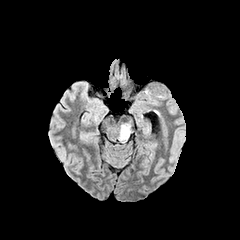
FLAIR magnetic resonance.
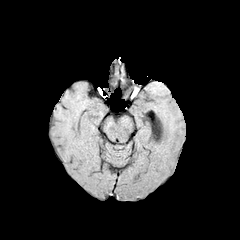
T1-weighted MRI of the same slice.
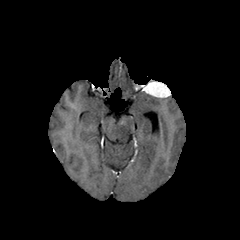
Post-contrast T1-weighted MRI.
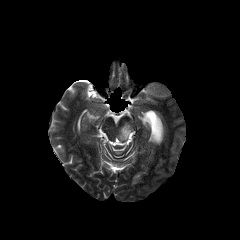
Same slice, T2-weighted magnetic resonance.
Head
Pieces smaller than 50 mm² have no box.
peritumoral_edema:
  - {"x1": 118, "y1": 123, "x2": 130, "y2": 142}